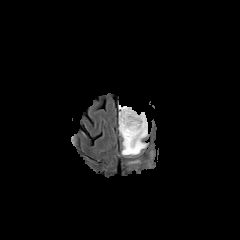
FLAIR MR.
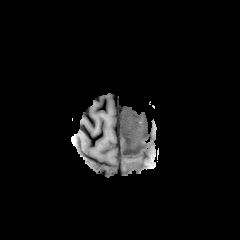
Same slice, T1-weighted magnetic resonance.
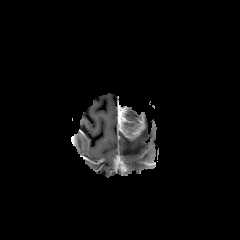
Post-contrast T1-weighted MR.
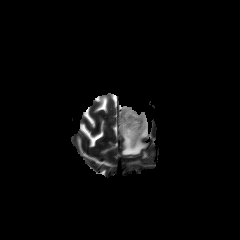
Same slice, T2-weighted MR.
Axial view.
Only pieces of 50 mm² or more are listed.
Segmented structures:
* peritumoral edema: 120 115 148 156
* necrotic tumor core: 124 107 140 127
* enhancing tumor: 118 105 144 139